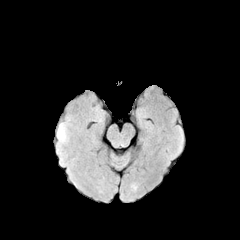
FLAIR MRI.
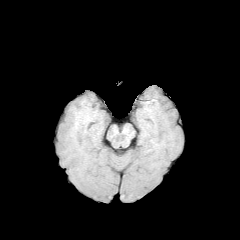
Same slice, T1-weighted magnetic resonance.
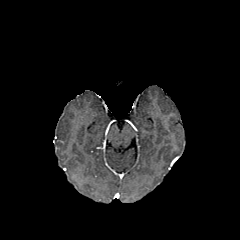
Post-contrast T1-weighted MR.
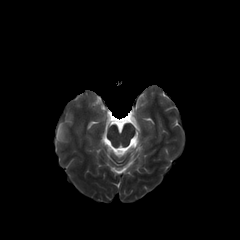
T2-weighted magnetic resonance.
peritumoral edema: box(56, 116, 72, 152)